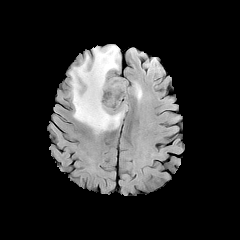
FLAIR magnetic resonance.
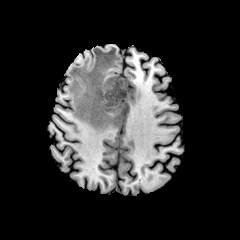
T1-weighted MRI.
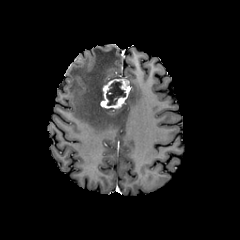
Post-contrast T1-weighted MR of the same slice.
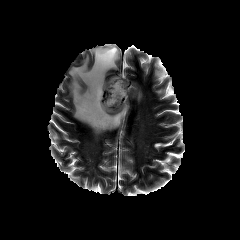
T2-weighted MR.
Head; 240x240
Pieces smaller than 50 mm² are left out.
necrotic tumor core at l=106, t=81, r=125, b=105
peritumoral edema at l=133, t=83, r=142, b=101; l=69, t=45, r=127, b=134
enhancing tumor at l=100, t=78, r=130, b=108